FLAIR MR.
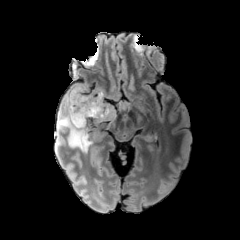
T1-weighted MRI.
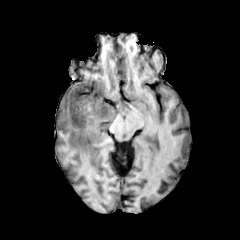
Post-contrast T1-weighted MR.
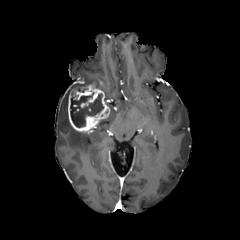
T2-weighted MR image.
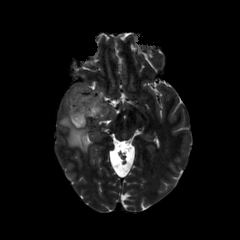
Head
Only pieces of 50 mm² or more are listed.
Findings:
• peritumoral edema: x1=57 y1=83 x2=90 y2=152
• necrotic tumor core: x1=70 y1=92 x2=103 y2=127
• enhancing tumor: x1=67 y1=81 x2=110 y2=133